Axial view.
FLAIR MR.
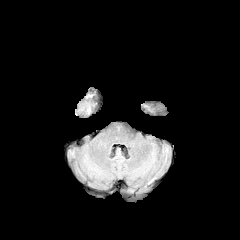
T1-weighted magnetic resonance.
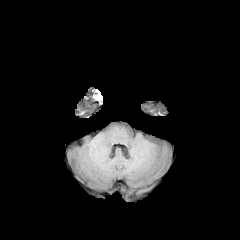
Post-contrast T1-weighted MR.
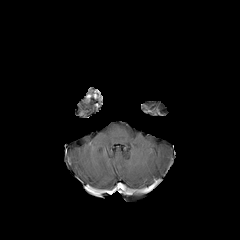
T2-weighted magnetic resonance.
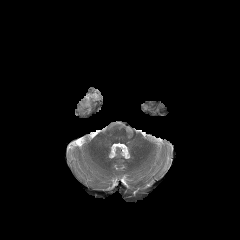
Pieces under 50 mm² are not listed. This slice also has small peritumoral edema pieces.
The enhancing tumor is at bbox(83, 92, 96, 104).